240x240 | Image covers 240 mm x 240 mm
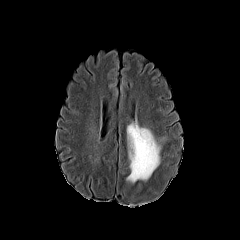
FLAIR magnetic resonance.
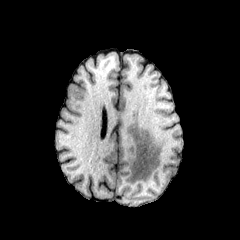
T1-weighted MR image of the same slice.
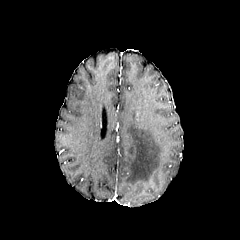
Post-contrast T1-weighted magnetic resonance.
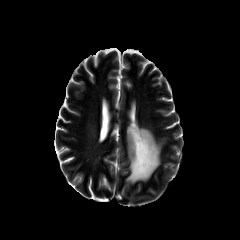
Same slice, T2-weighted MR.
The peritumoral edema appears at bbox(126, 121, 160, 183).